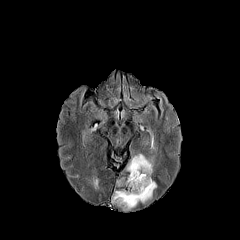
FLAIR magnetic resonance.
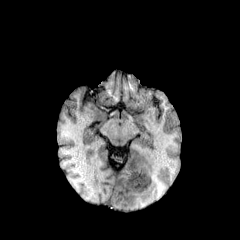
T1-weighted MR image.
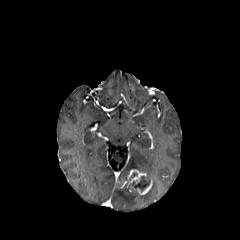
Same slice, post-contrast T1-weighted MRI.
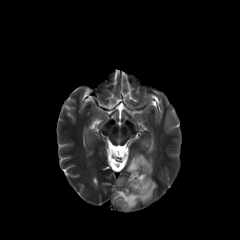
T2-weighted MR.
Head
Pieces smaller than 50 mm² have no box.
peritumoral edema — (left=111, top=181, right=156, bottom=210), (left=126, top=154, right=153, bottom=177)
enhancing tumor — (left=117, top=169, right=152, bottom=195)
necrotic tumor core — (left=131, top=176, right=150, bottom=191)